Axial view
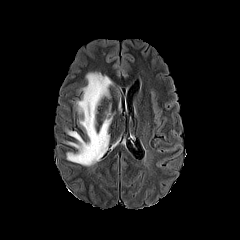
FLAIR magnetic resonance.
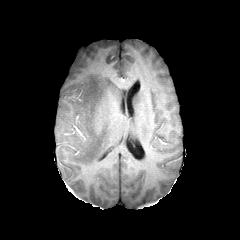
T1-weighted magnetic resonance.
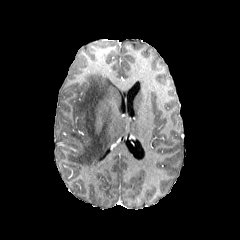
Same slice, post-contrast T1-weighted MRI.
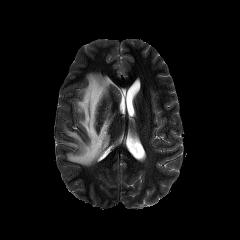
T2-weighted MR image.
<segmentation>
  <peritumoral_edema>66,72,112,166</peritumoral_edema>
</segmentation>